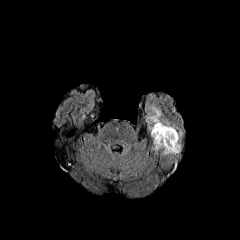
FLAIR MRI.
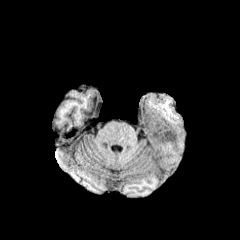
T1-weighted magnetic resonance.
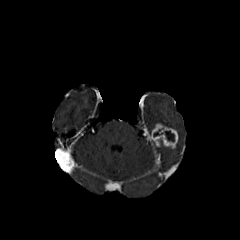
Post-contrast T1-weighted MR.
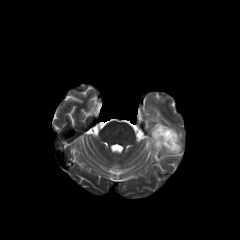
T2-weighted MRI.
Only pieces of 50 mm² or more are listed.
The enhancing tumor lies within {"x1": 151, "y1": 123, "x2": 178, "y2": 148}. The 2 largest peritumoral edema regions are bounded by {"x1": 146, "y1": 106, "x2": 174, "y2": 129}, {"x1": 152, "y1": 129, "x2": 182, "y2": 155}. The largest necrotic tumor core region lies within {"x1": 164, "y1": 130, "x2": 174, "y2": 141}.